Brain | Image covers 240 mm x 240 mm | 240x240 px
FLAIR MR image.
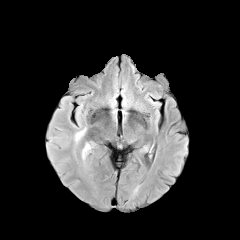
T1-weighted MR image.
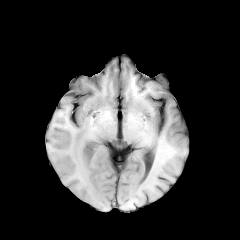
Post-contrast T1-weighted MRI.
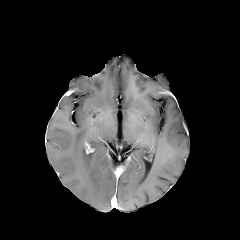
T2-weighted MR image.
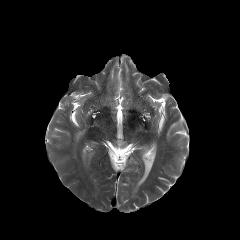
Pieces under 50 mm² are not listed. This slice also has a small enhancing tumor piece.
peritumoral edema = [x1=82, y1=144, x2=87, y2=159], [x1=75, y1=130, x2=85, y2=141]